Brain; Image width 240 mm
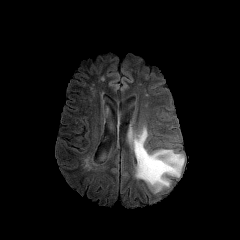
FLAIR MR image.
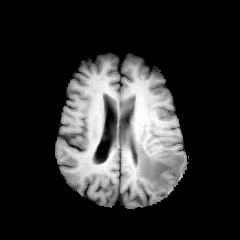
T1-weighted MR.
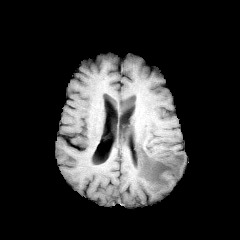
Post-contrast T1-weighted MR.
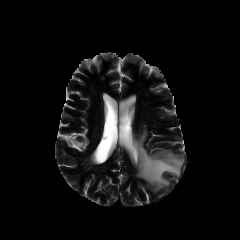
Same slice, T2-weighted magnetic resonance.
peritumoral edema: bounding box rect(133, 128, 184, 192)